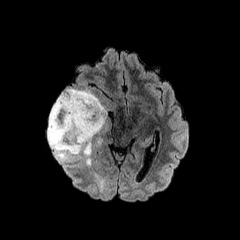
FLAIR MR image.
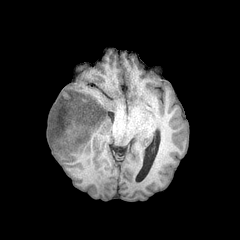
T1-weighted MR.
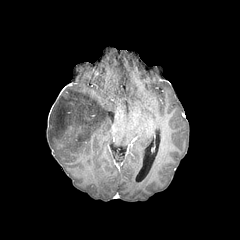
Post-contrast T1-weighted magnetic resonance.
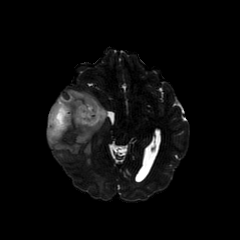
Same slice, T2-weighted magnetic resonance.
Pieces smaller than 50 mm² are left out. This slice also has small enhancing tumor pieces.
{
  "peritumoral_edema": [
    "region(47, 88, 107, 165)"
  ]
}